Axial view
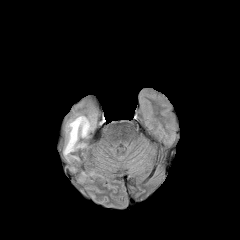
FLAIR MRI.
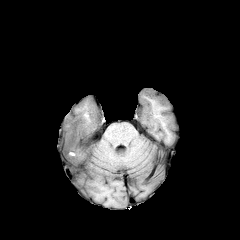
T1-weighted MR image of the same slice.
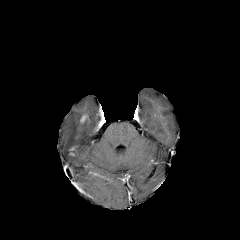
Same slice, post-contrast T1-weighted magnetic resonance.
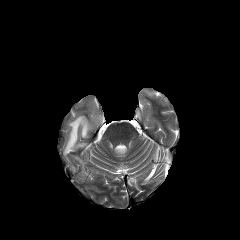
T2-weighted MR image.
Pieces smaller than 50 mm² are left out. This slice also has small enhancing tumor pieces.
Segmented structures:
• peritumoral edema: region(63, 114, 95, 160)